FLAIR magnetic resonance.
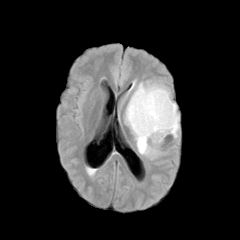
T1-weighted MR.
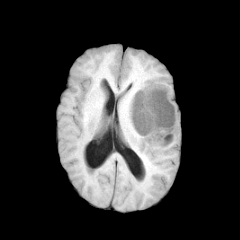
Post-contrast T1-weighted magnetic resonance.
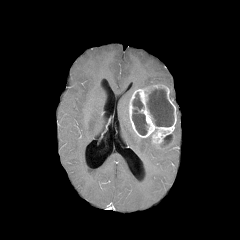
T2-weighted magnetic resonance.
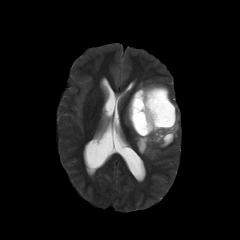
Brain; Axial view; Image size 240x240
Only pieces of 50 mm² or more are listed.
Annotated regions:
• peritumoral edema: 172,112,179,138; 136,81,163,89; 124,103,162,157
• enhancing tumor: 129,84,176,146
• necrotic tumor core: 132,93,147,135; 162,135,173,144; 147,88,174,126